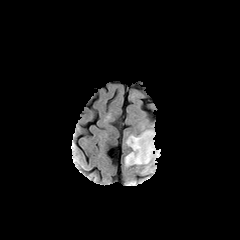
FLAIR MR.
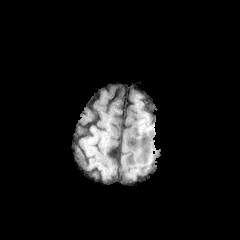
T1-weighted MRI.
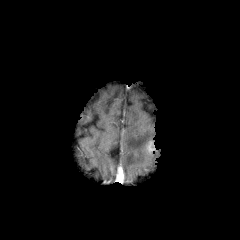
Same slice, post-contrast T1-weighted magnetic resonance.
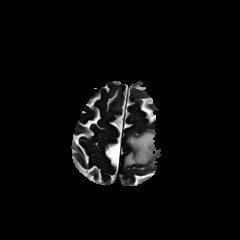
T2-weighted MRI of the same slice.
Head. 240x240. Axial view.
peritumoral edema: [125, 130, 160, 166] | enhancing tumor: [145, 141, 155, 153]